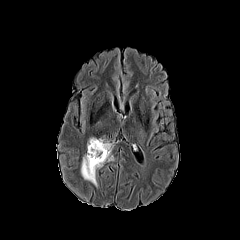
FLAIR MR.
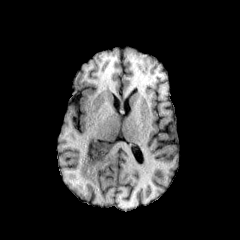
T1-weighted MR.
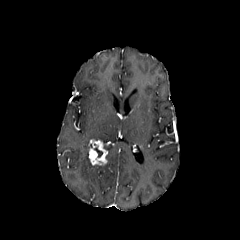
Post-contrast T1-weighted magnetic resonance.
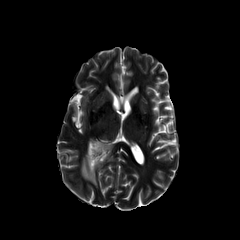
T2-weighted MR.
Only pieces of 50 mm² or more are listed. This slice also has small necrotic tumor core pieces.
peritumoral edema at bbox=[106, 144, 113, 161]; bbox=[81, 151, 103, 186]
enhancing tumor at bbox=[88, 139, 108, 165]